240x240 | Head
FLAIR magnetic resonance.
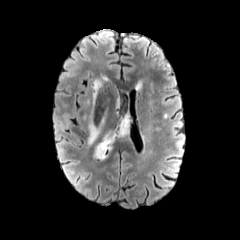
T1-weighted MR.
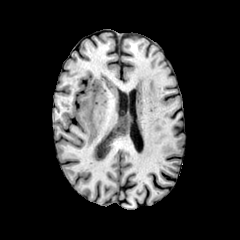
Post-contrast T1-weighted magnetic resonance.
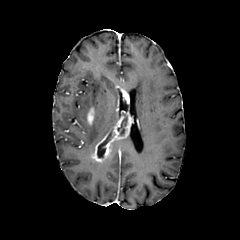
T2-weighted MR.
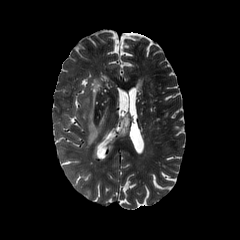
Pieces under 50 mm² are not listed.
necrotic tumor core: 97,131,111,158; 117,116,127,135
enhancing tumor: 87,106,94,125; 91,113,130,161
peritumoral edema: 135,81,142,90; 92,79,102,107; 88,118,104,145